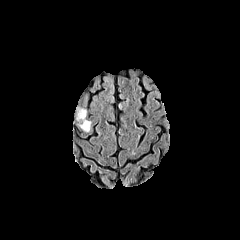
FLAIR MR image.
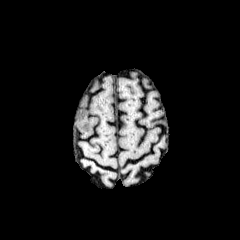
T1-weighted MR image.
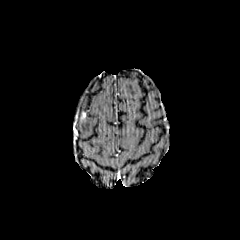
Post-contrast T1-weighted MR image of the same slice.
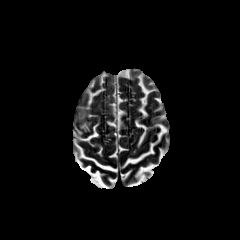
T2-weighted MR image.
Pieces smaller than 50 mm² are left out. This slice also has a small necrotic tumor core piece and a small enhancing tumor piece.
The largest peritumoral edema region is bounded by bbox(79, 118, 91, 132).